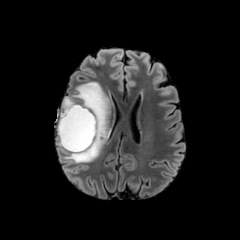
FLAIR MR.
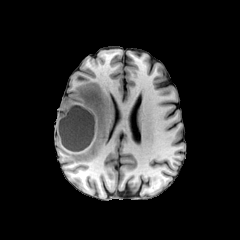
Same slice, T1-weighted MR.
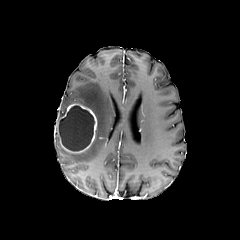
Post-contrast T1-weighted magnetic resonance of the same slice.
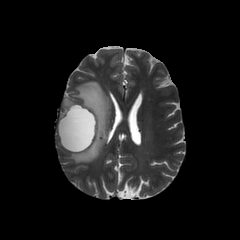
T2-weighted MR image of the same slice.
Head
- peritumoral edema: (56, 82, 109, 163), (58, 96, 75, 121)
- necrotic tumor core: (59, 105, 94, 150)
- enhancing tumor: (57, 103, 97, 153)